Image width 240 mm, 1.00 mm slice spacing | Slice index 70 | Axial slice
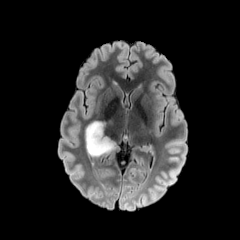
FLAIR magnetic resonance.
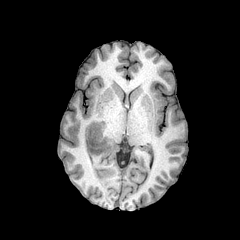
Same slice, T1-weighted MRI.
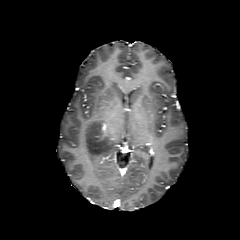
Post-contrast T1-weighted MRI.
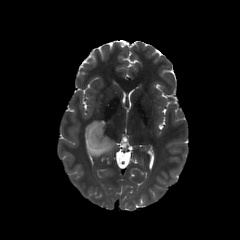
Same slice, T2-weighted MR image.
The peritumoral edema is bounded by (x1=85, y1=119, x2=120, y2=156).